Image size 240x240 | Slice 85 of 155
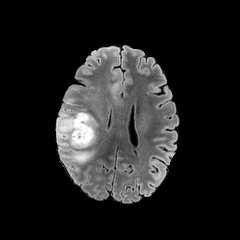
FLAIR MR image.
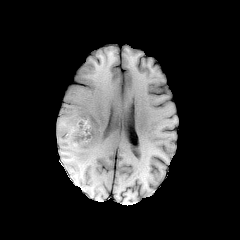
T1-weighted MR image.
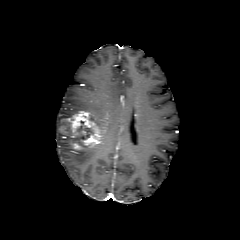
Post-contrast T1-weighted MR image.
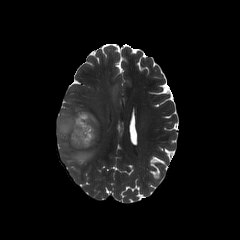
Same slice, T2-weighted MR image.
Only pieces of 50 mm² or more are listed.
enhancing tumor: l=63, t=111, r=99, b=149 | peritumoral edema: l=56, t=108, r=93, b=164 | necrotic tumor core: l=79, t=120, r=91, b=139